240x240 px; Axial slice
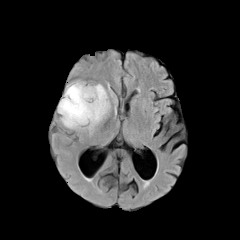
FLAIR MR.
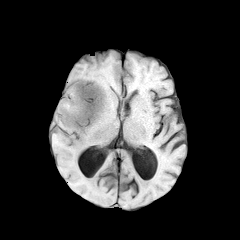
T1-weighted magnetic resonance.
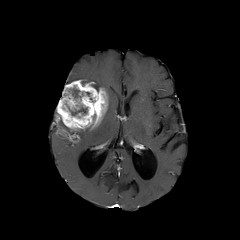
Same slice, post-contrast T1-weighted MR image.
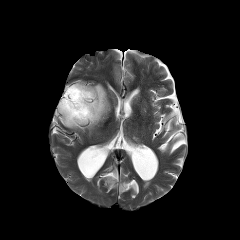
T2-weighted MR.
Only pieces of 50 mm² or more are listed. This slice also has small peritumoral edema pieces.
Annotated regions:
• enhancing tumor: box(57, 80, 107, 130)
• necrotic tumor core: box(71, 108, 86, 115); box(72, 89, 79, 97)